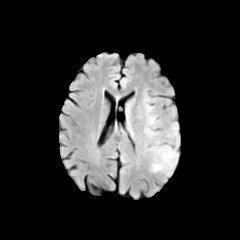
FLAIR MR image.
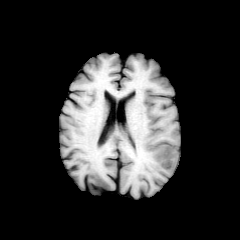
T1-weighted MRI.
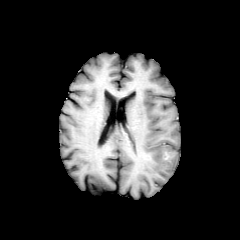
Post-contrast T1-weighted magnetic resonance of the same slice.
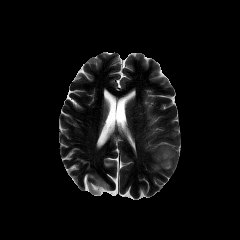
T2-weighted MRI of the same slice.
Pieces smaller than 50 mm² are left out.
Segmented structures:
* peritumoral edema: [147, 129, 155, 136], [147, 105, 156, 125], [151, 145, 177, 174]
* enhancing tumor: [164, 152, 172, 161]